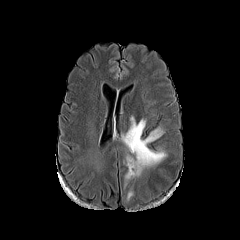
FLAIR MRI.
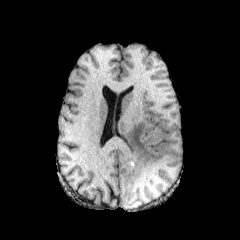
T1-weighted MR image.
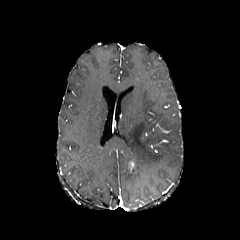
Post-contrast T1-weighted MR of the same slice.
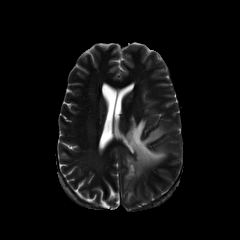
T2-weighted MR.
Axial plane.
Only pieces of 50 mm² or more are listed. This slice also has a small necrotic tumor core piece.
Annotated regions:
- enhancing tumor: bbox(128, 162, 137, 174)
- peritumoral edema: bbox(122, 117, 166, 180)